FLAIR MRI.
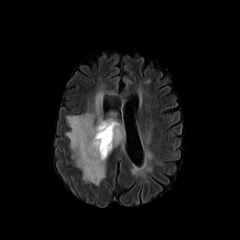
T1-weighted MRI.
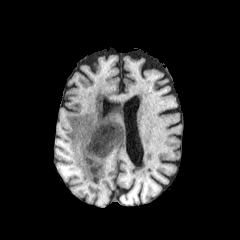
Post-contrast T1-weighted magnetic resonance.
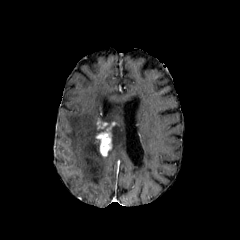
T2-weighted MRI.
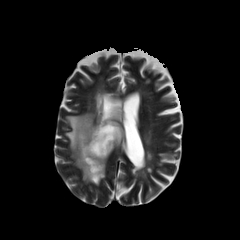
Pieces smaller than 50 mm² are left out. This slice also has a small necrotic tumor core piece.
peritumoral edema: (left=66, top=92, right=123, bottom=185)
enhancing tumor: (left=95, top=120, right=115, bottom=156)